Slice 122 of 155. Axial plane. 240x240.
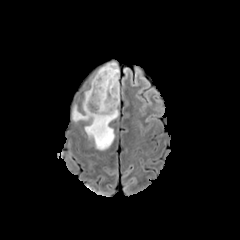
FLAIR magnetic resonance.
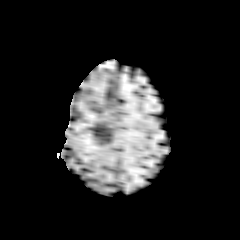
T1-weighted MR image.
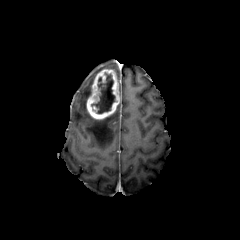
Post-contrast T1-weighted MR.
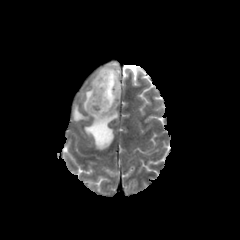
T2-weighted MR image of the same slice.
enhancing tumor at [x1=86, y1=69, x2=120, y2=119]
necrotic tumor core at [x1=92, y1=74, x2=115, y2=113]
peritumoral edema at [x1=85, y1=109, x2=117, y2=149], [x1=73, y1=108, x2=89, y2=120], [x1=83, y1=90, x2=90, y2=111], [x1=98, y1=62, x2=119, y2=79]